240x240 | Slice index 80
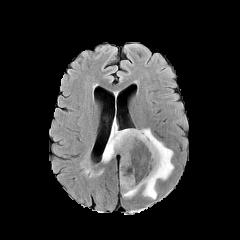
FLAIR MR image.
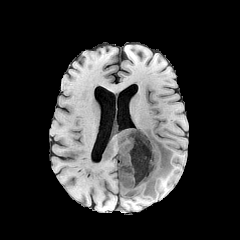
T1-weighted MRI.
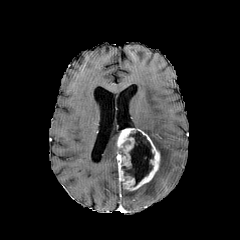
Post-contrast T1-weighted MR.
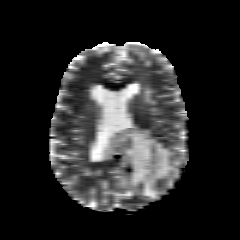
T2-weighted magnetic resonance of the same slice.
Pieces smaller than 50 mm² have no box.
Segmented structures:
• enhancing tumor: 116,128,160,190
• peritumoral edema: 122,188,139,197; 141,129,173,199; 102,122,120,162
• necrotic tumor core: 122,131,153,186